240x240; Slice 80/155
FLAIR MR.
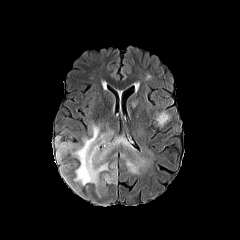
T1-weighted MR.
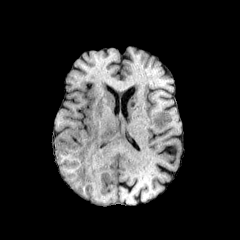
Post-contrast T1-weighted MR image.
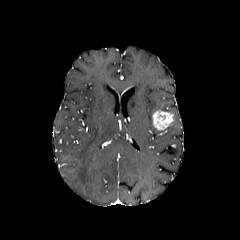
T2-weighted MR image.
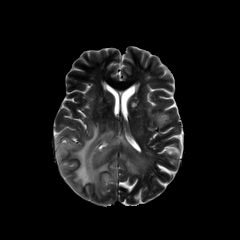
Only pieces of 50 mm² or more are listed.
enhancing tumor: <box>152,111,172,130</box> | peritumoral edema: <box>60,164,82,193</box>, <box>55,124,133,188</box>, <box>126,155,146,173</box>, <box>104,169,117,183</box>